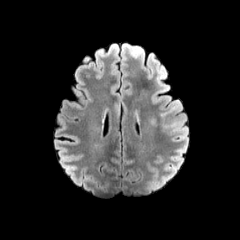
FLAIR MR image.
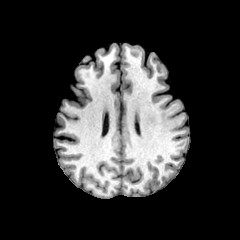
T1-weighted magnetic resonance of the same slice.
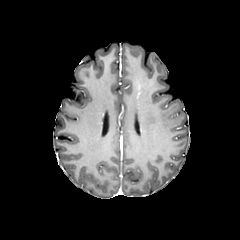
Post-contrast T1-weighted MRI.
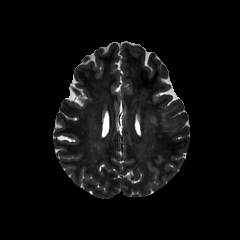
T2-weighted MR image.
240x240 px. Axial slice.
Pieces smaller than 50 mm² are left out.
<segmentation>
  <peritumoral_edema>[161,107,174,127]</peritumoral_edema>
</segmentation>